FLAIR MRI.
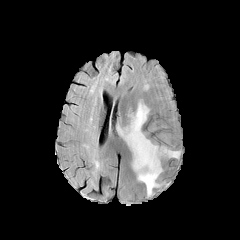
T1-weighted magnetic resonance.
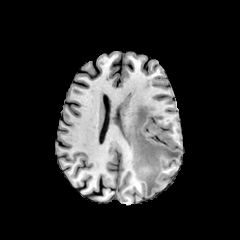
Post-contrast T1-weighted magnetic resonance.
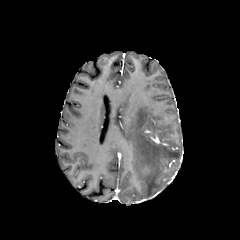
T2-weighted MR.
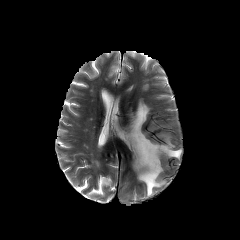
Axial plane
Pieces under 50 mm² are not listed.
<segmentation>
  <peritumoral_edema>117, 100, 180, 196</peritumoral_edema>
</segmentation>